FLAIR MRI.
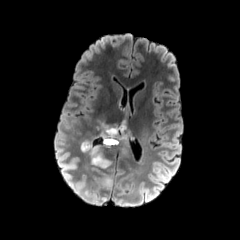
T1-weighted MR image.
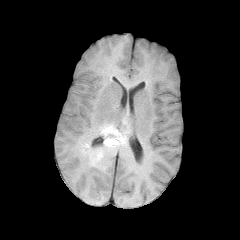
Post-contrast T1-weighted MR.
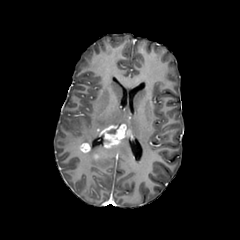
T2-weighted magnetic resonance.
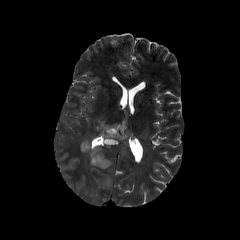
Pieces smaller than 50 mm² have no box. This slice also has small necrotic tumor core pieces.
The 2 largest enhancing tumor regions are bounded by box=[99, 123, 130, 147]; box=[81, 143, 89, 152]. The 4 largest peritumoral edema regions are bounded by box=[100, 122, 116, 130]; box=[112, 137, 130, 156]; box=[81, 132, 111, 168]; box=[102, 177, 112, 186].